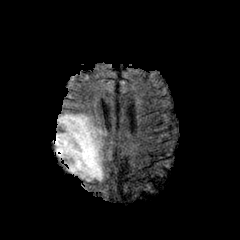
FLAIR MRI.
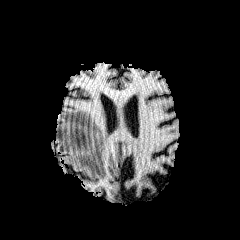
T1-weighted MRI.
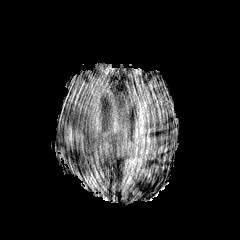
Post-contrast T1-weighted magnetic resonance of the same slice.
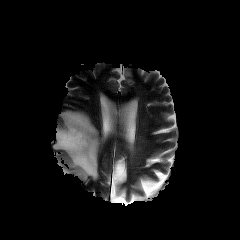
T2-weighted MRI.
Brain
peritumoral edema at x1=55, y1=111, x2=104, y2=181
enhancing tumor at x1=62, y1=125, x2=84, y2=150